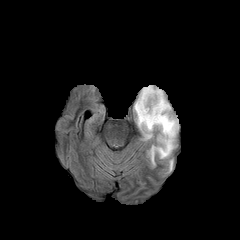
FLAIR magnetic resonance.
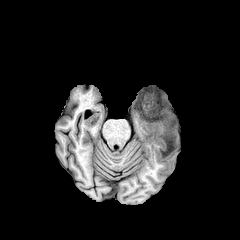
T1-weighted MR image.
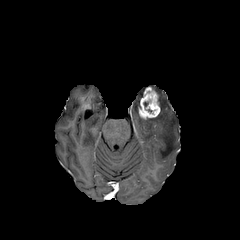
Post-contrast T1-weighted magnetic resonance of the same slice.
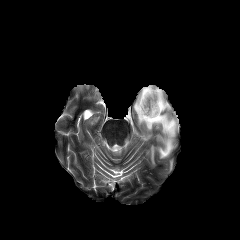
T2-weighted MRI.
Head. Axial plane.
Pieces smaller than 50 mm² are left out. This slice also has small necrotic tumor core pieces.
peritumoral edema: [x1=134, y1=87, x2=178, y2=165] | enhancing tumor: [x1=138, y1=87, x2=160, y2=118]